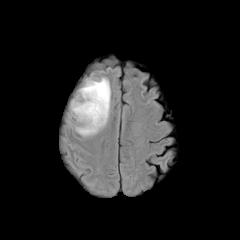
FLAIR MRI.
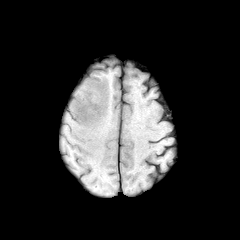
Same slice, T1-weighted magnetic resonance.
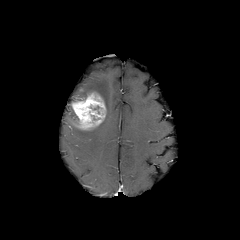
Post-contrast T1-weighted MR of the same slice.
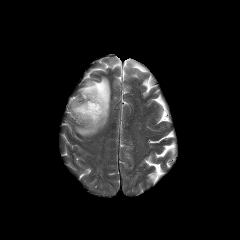
T2-weighted MR of the same slice.
Head; Axial view
enhancing tumor: (72,92,106,129)
peritumoral edema: (71,77,110,136)